Image width 240 mm, 1.00 mm slice spacing
FLAIR MRI.
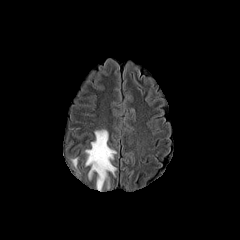
T1-weighted MR image.
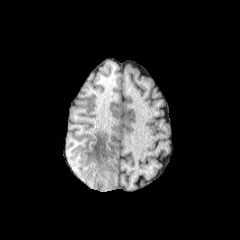
Post-contrast T1-weighted magnetic resonance.
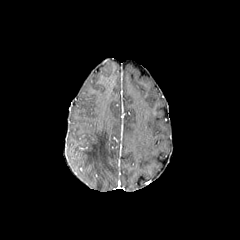
T2-weighted MR.
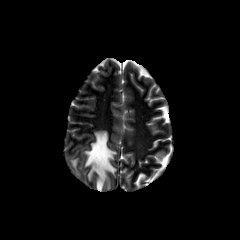
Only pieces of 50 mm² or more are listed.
Findings:
* peritumoral edema: (left=85, top=130, right=116, bottom=191)